FLAIR magnetic resonance.
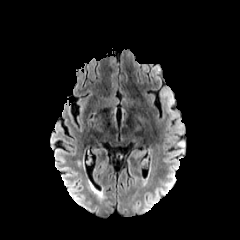
T1-weighted MR image.
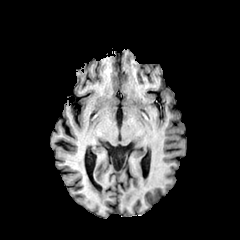
Post-contrast T1-weighted magnetic resonance.
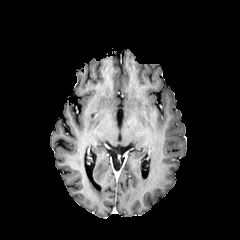
T2-weighted magnetic resonance.
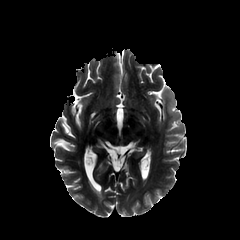
The peritumoral edema is bounded by bbox(160, 87, 177, 117).